Brain, Axial slice, Slice index 48
FLAIR MR image.
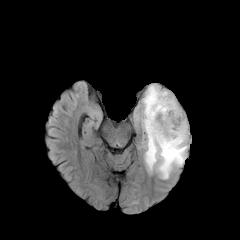
T1-weighted MR.
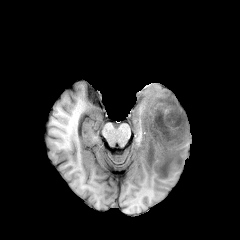
Post-contrast T1-weighted MR image.
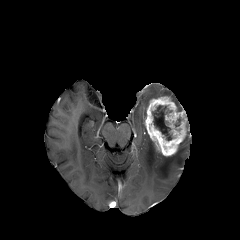
T2-weighted MR image.
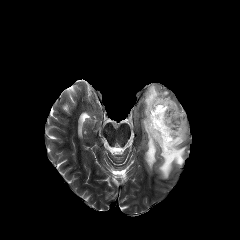
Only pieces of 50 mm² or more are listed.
enhancing tumor: bounding box region(144, 96, 188, 156)
peritumoral edema: bounding box region(141, 84, 188, 179)
necrotic tumor core: bounding box region(152, 105, 171, 140)